Head, Slice index 88, Axial view
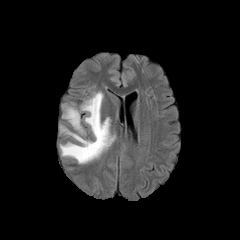
FLAIR MR.
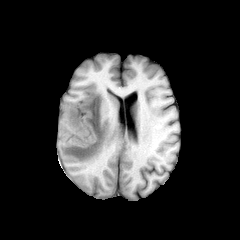
T1-weighted MR image.
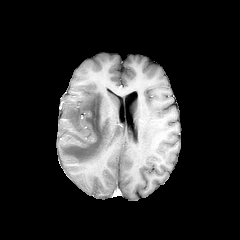
Same slice, post-contrast T1-weighted magnetic resonance.
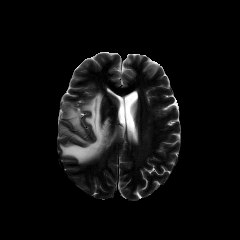
T2-weighted magnetic resonance of the same slice.
peritumoral edema at x1=60 y1=91 x2=115 y2=163